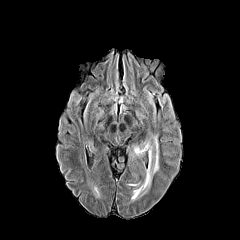
FLAIR MR image.
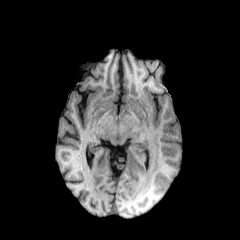
T1-weighted MR of the same slice.
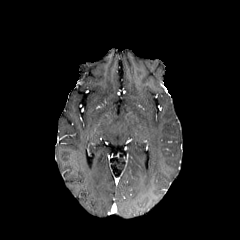
Post-contrast T1-weighted MRI of the same slice.
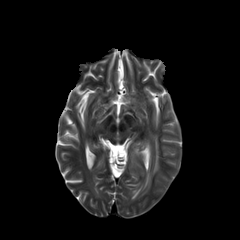
Same slice, T2-weighted magnetic resonance.
Head; Axial slice
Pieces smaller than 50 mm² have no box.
The 2 largest peritumoral edema regions appear at box(134, 147, 142, 154); box(131, 136, 158, 199).